FLAIR MR.
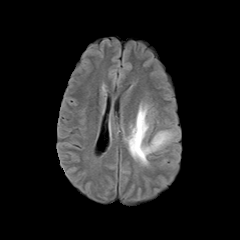
T1-weighted MRI.
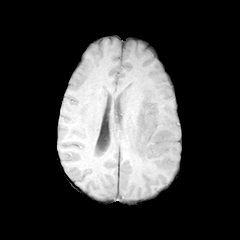
Post-contrast T1-weighted MR image.
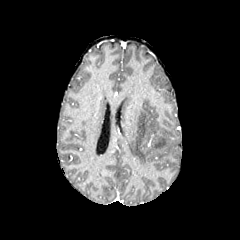
T2-weighted MR image.
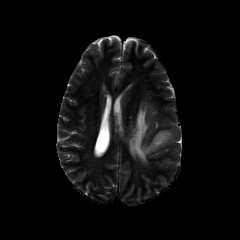
peritumoral edema: 125,102,177,165